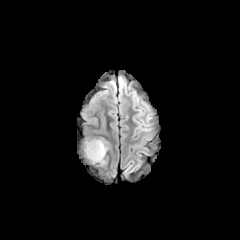
FLAIR MR.
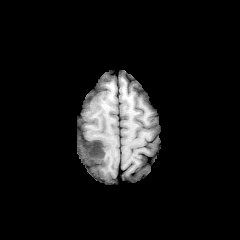
Same slice, T1-weighted MR image.
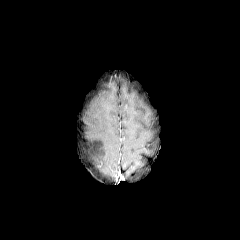
Post-contrast T1-weighted magnetic resonance.
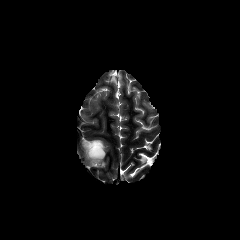
Same slice, T2-weighted MRI.
Head; Image size 240x240
Segmented structures:
• peritumoral edema: [x1=83, y1=139, x2=107, y2=165]